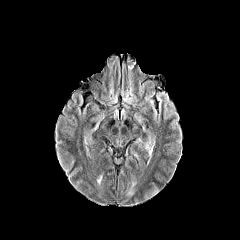
FLAIR MR.
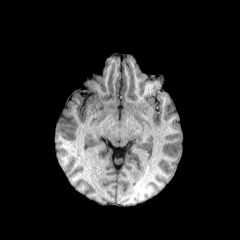
T1-weighted MR of the same slice.
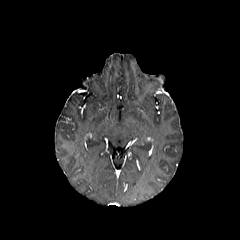
Post-contrast T1-weighted magnetic resonance.
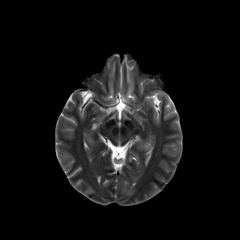
T2-weighted magnetic resonance.
240x240 px | Axial plane
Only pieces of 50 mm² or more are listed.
peritumoral_edema:
  - {"x1": 127, "y1": 182, "x2": 135, "y2": 195}